FLAIR magnetic resonance.
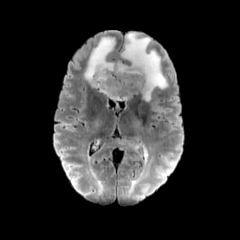
T1-weighted MRI.
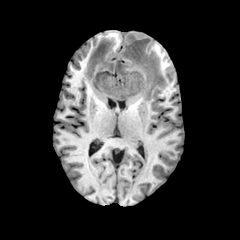
Post-contrast T1-weighted MRI.
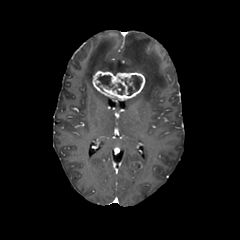
T2-weighted MRI.
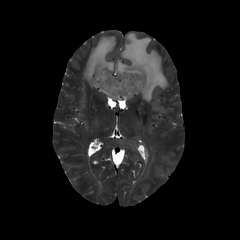
Image size 240x240
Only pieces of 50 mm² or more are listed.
<segmentation>
  <enhancing_tumor>bbox(92, 71, 145, 100)</enhancing_tumor>
  <necrotic_tumor_core>bbox(117, 83, 124, 94); bbox(124, 75, 141, 95); bbox(97, 74, 113, 87)</necrotic_tumor_core>
  <peritumoral_edema>bbox(129, 148, 154, 195); bbox(84, 33, 172, 128)</peritumoral_edema>
</segmentation>